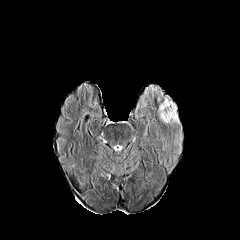
FLAIR MRI.
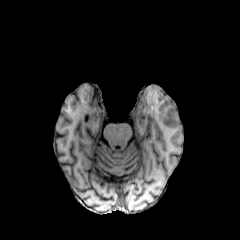
T1-weighted MR.
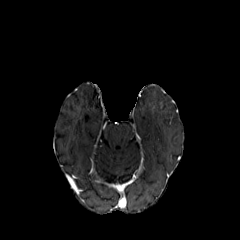
Post-contrast T1-weighted MR image.
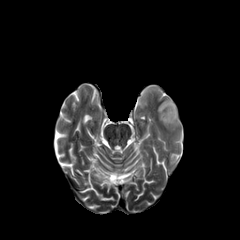
T2-weighted MRI of the same slice.
Brain
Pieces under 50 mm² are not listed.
Findings:
• peritumoral edema: [158, 96, 180, 126]